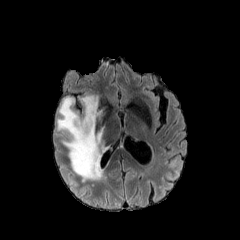
FLAIR MR image.
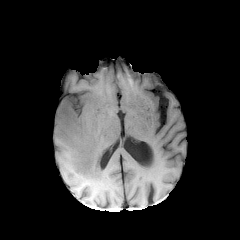
Same slice, T1-weighted MR.
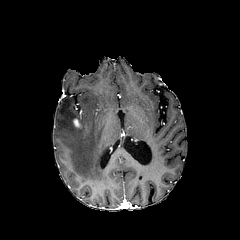
Post-contrast T1-weighted magnetic resonance of the same slice.
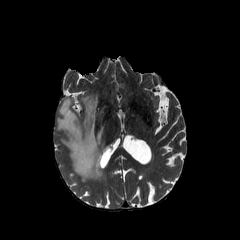
T2-weighted MR image.
240x240 px; Brain
Findings:
- peritumoral edema: box(57, 95, 108, 181)
- enhancing tumor: box(73, 118, 81, 129)